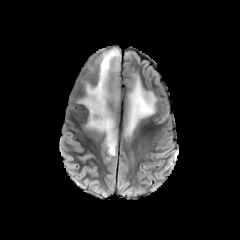
FLAIR MR.
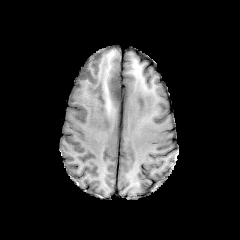
T1-weighted MR image of the same slice.
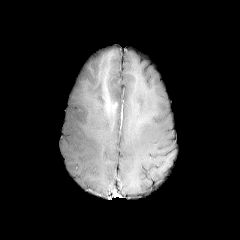
Same slice, post-contrast T1-weighted MR.
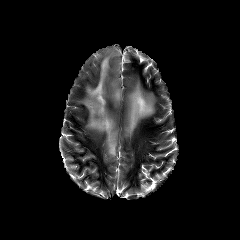
T2-weighted MR image.
Head, Axial plane, 240x240 px
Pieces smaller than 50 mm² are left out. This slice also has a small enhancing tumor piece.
{
  "peritumoral_edema": [
    "<bbox>124, 73, 156, 137</bbox>",
    "<bbox>78, 48, 121, 159</bbox>"
  ]
}